FLAIR magnetic resonance.
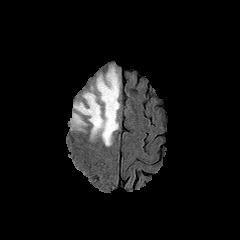
T1-weighted MR.
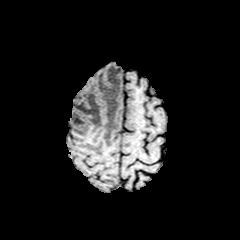
Post-contrast T1-weighted magnetic resonance.
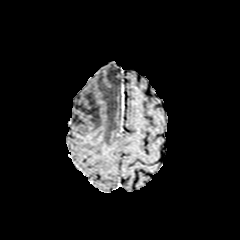
T2-weighted MR image.
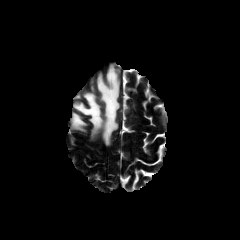
Axial slice.
Segmented structures:
• peritumoral edema: l=73, t=65, r=120, b=146; l=71, t=113, r=87, b=131